Axial view; Brain
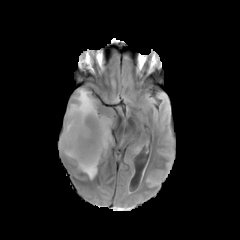
FLAIR MR.
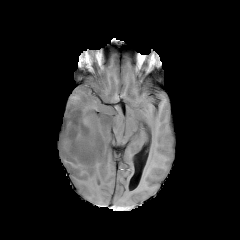
T1-weighted magnetic resonance.
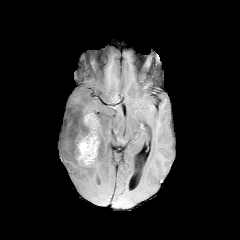
Post-contrast T1-weighted MR.
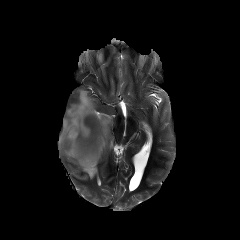
Same slice, T2-weighted MR image.
enhancing tumor — box=[75, 113, 100, 165]
peritumoral edema — box=[59, 88, 111, 179]